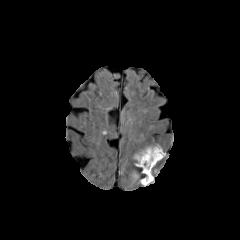
FLAIR MR image.
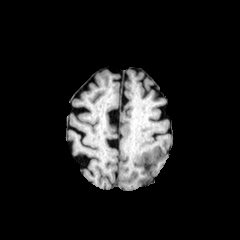
T1-weighted magnetic resonance.
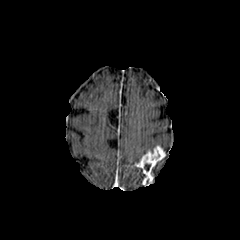
Post-contrast T1-weighted MR of the same slice.
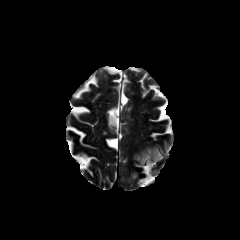
Same slice, T2-weighted magnetic resonance.
240x240 px, Head
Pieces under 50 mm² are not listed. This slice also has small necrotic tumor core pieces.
{"enhancing_tumor": ["bbox(135, 145, 165, 185)"], "peritumoral_edema": ["bbox(133, 144, 158, 162)"]}